Slice 80/155; Brain; Axial plane
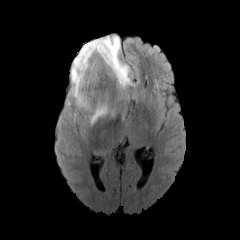
FLAIR MR image.
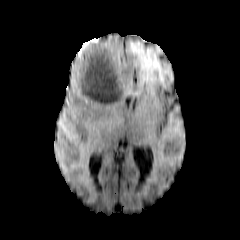
T1-weighted MR image.
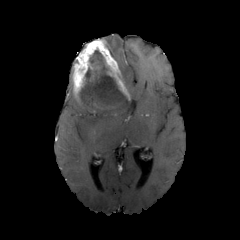
Post-contrast T1-weighted MR image.
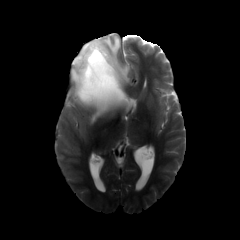
T2-weighted magnetic resonance.
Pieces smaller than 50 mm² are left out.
{"peritumoral_edema": ["<box>106,35,138,88</box>", "<box>66,85,83,108</box>", "<box>89,112,106,124</box>"], "necrotic_tumor_core": ["<box>90,50,102,62</box>", "<box>80,66,125,107</box>"], "enhancing_tumor": ["<box>70,37,130,115</box>"]}